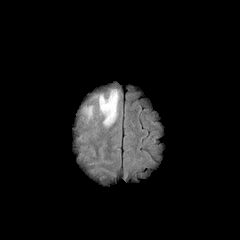
FLAIR magnetic resonance.
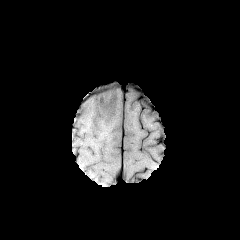
T1-weighted magnetic resonance of the same slice.
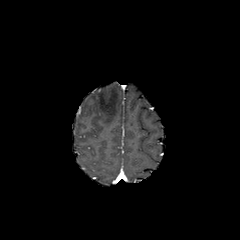
Same slice, post-contrast T1-weighted magnetic resonance.
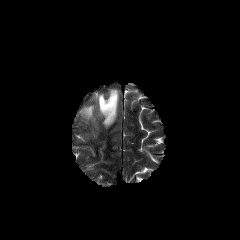
Same slice, T2-weighted MR image.
240x240 px; Brain
{
  "peritumoral_edema": [
    {"x1": 97, "y1": 89, "x2": 119, "y2": 126},
    {"x1": 84, "y1": 105, "x2": 93, "y2": 118}
  ]
}